Axial slice
FLAIR magnetic resonance.
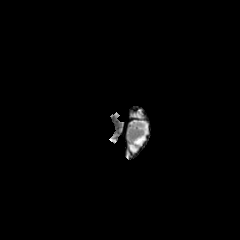
T1-weighted MRI.
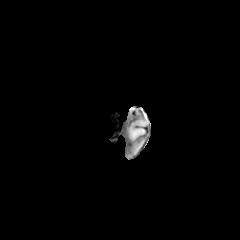
Post-contrast T1-weighted MR image.
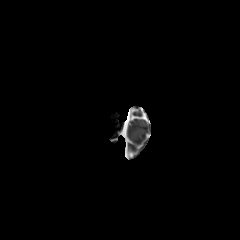
T2-weighted magnetic resonance.
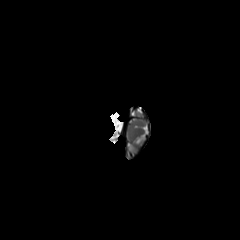
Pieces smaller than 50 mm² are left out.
Annotated regions:
• peritumoral edema: rect(135, 136, 144, 144)